FLAIR MR image.
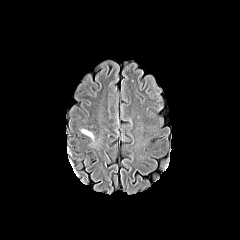
T1-weighted MR.
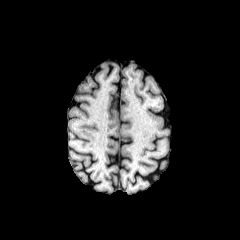
Post-contrast T1-weighted magnetic resonance.
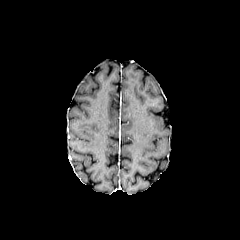
T2-weighted MR image.
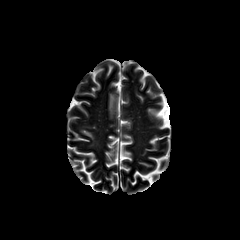
Brain.
Annotated regions:
* peritumoral edema: 82:130:94:141